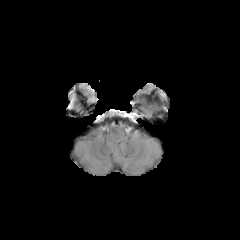
FLAIR magnetic resonance.
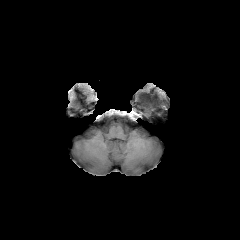
T1-weighted MR image of the same slice.
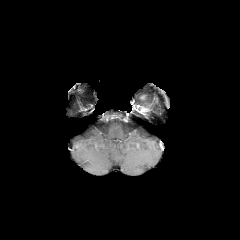
Post-contrast T1-weighted MR image.
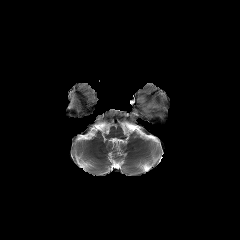
T2-weighted MRI.
240x240 px
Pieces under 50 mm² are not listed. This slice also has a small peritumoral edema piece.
<segmentation>
  <enhancing_tumor><bbox>140, 106, 148, 114</bbox></enhancing_tumor>
</segmentation>